Image width 240 mm, 1.00 mm slice spacing. Head. 240x240.
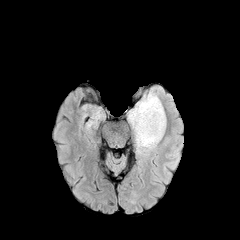
FLAIR MRI.
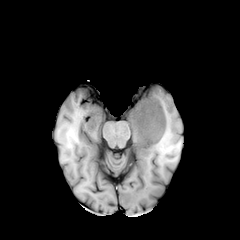
T1-weighted MRI of the same slice.
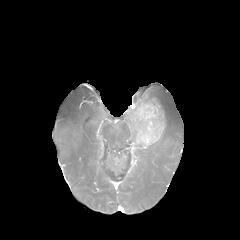
Same slice, post-contrast T1-weighted MR.
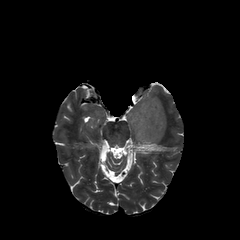
T2-weighted magnetic resonance.
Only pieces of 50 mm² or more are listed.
peritumoral edema: bounding box x1=128 y1=90 x2=165 y2=154
enhancing tumor: bounding box x1=131 y1=99 x2=165 y2=148